Head.
FLAIR MR.
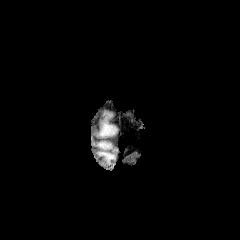
T1-weighted magnetic resonance.
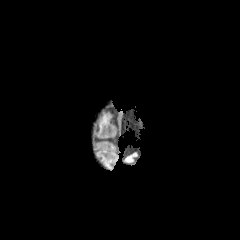
Post-contrast T1-weighted MR.
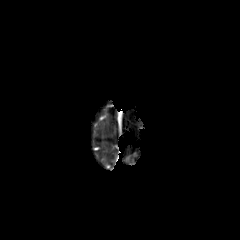
T2-weighted MRI.
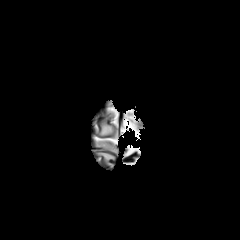
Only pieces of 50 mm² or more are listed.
peritumoral edema — 99, 118, 116, 136; 94, 142, 112, 149; 97, 152, 115, 164